Head
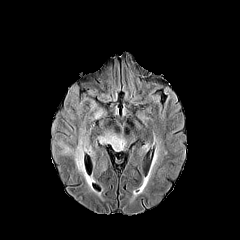
FLAIR magnetic resonance.
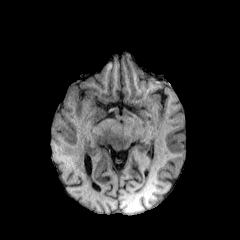
T1-weighted MR.
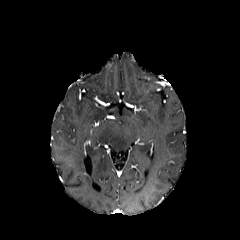
Same slice, post-contrast T1-weighted magnetic resonance.
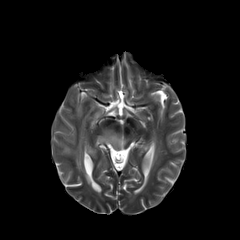
T2-weighted magnetic resonance.
peritumoral edema: bounding box bbox=[98, 130, 126, 152]; bbox=[94, 109, 103, 118]; bbox=[85, 146, 94, 157]; bbox=[57, 125, 94, 187]